240x240. Head.
FLAIR MRI.
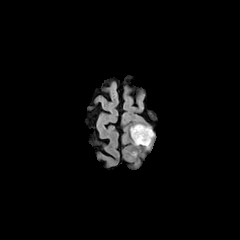
T1-weighted MRI.
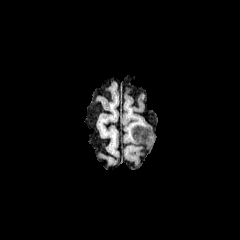
Post-contrast T1-weighted MR image.
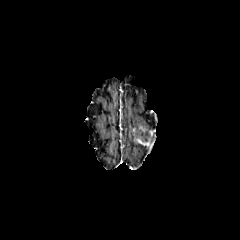
T2-weighted magnetic resonance.
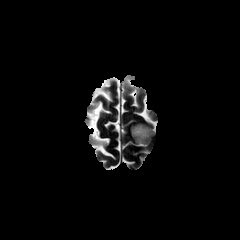
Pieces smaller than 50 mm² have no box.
The largest peritumoral edema region appears at bbox(130, 124, 151, 139). The necrotic tumor core appears at bbox(141, 131, 149, 141). The enhancing tumor appears at bbox(132, 125, 153, 146).